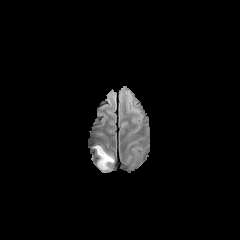
FLAIR MR image.
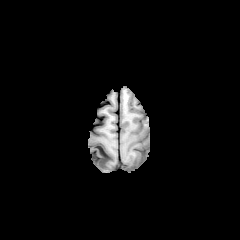
Same slice, T1-weighted MRI.
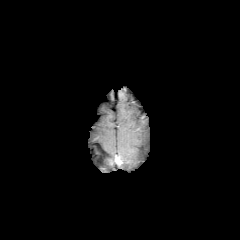
Post-contrast T1-weighted MR image.
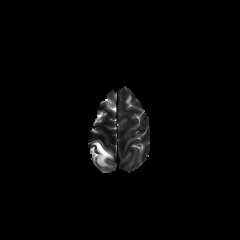
T2-weighted MR.
240x240. Head.
The peritumoral edema is at bbox(95, 145, 113, 169).